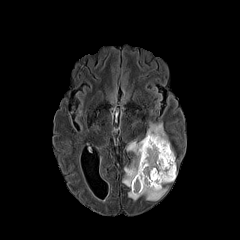
FLAIR MRI.
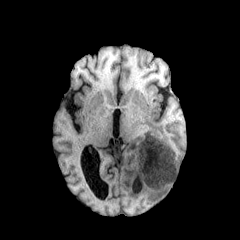
T1-weighted MRI of the same slice.
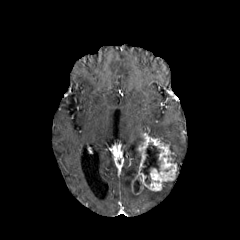
Same slice, post-contrast T1-weighted MR.
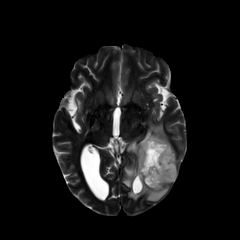
Same slice, T2-weighted MR image.
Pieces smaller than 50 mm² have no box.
{
  "peritumoral_edema": [
    "x1=147 y1=122 x2=173 y2=152",
    "x1=122 y1=139 x2=168 y2=201"
  ],
  "necrotic_tumor_core": [
    "x1=133 y1=181 x2=139 y2=192",
    "x1=141 y1=143 x2=160 y2=184"
  ],
  "enhancing_tumor": [
    "x1=132 y1=134 x2=176 y2=194"
  ]
}